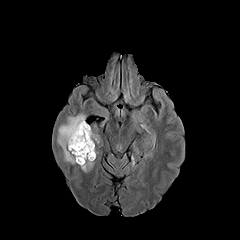
FLAIR MRI.
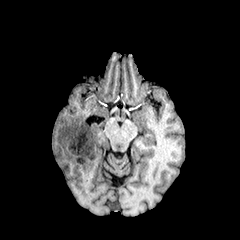
Same slice, T1-weighted MRI.
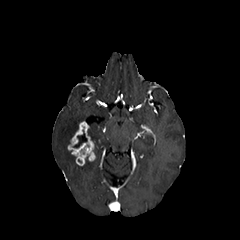
Same slice, post-contrast T1-weighted MR.
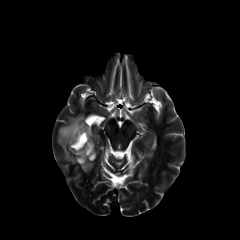
T2-weighted magnetic resonance.
Brain; Axial view; 240x240 px
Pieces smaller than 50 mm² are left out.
peritumoral edema: 88,127,99,142; 81,157,93,172; 57,113,85,163
enhancing tumor: 68,121,95,165
necrotic tumor core: 73,133,87,147